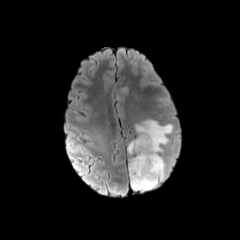
FLAIR magnetic resonance.
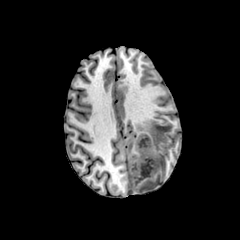
T1-weighted MRI.
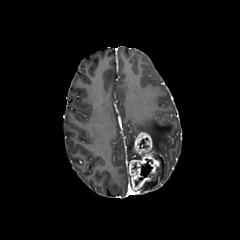
Same slice, post-contrast T1-weighted MR.
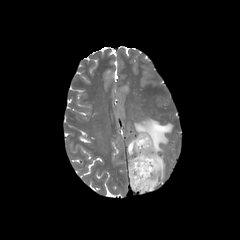
T2-weighted MR.
Head
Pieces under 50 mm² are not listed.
enhancing tumor: (128,132,159,190) | necrotic tumor core: (138,138,148,148), (134,159,152,186) | peritumoral edema: (128,140,135,154), (135,119,172,191)